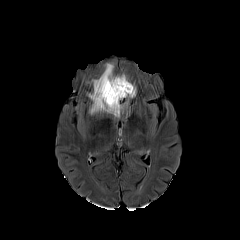
FLAIR magnetic resonance.
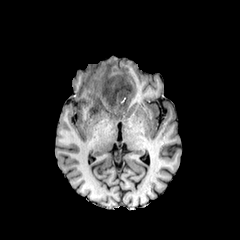
T1-weighted MR image.
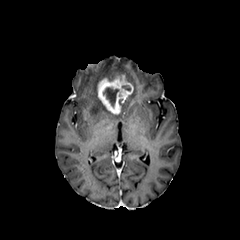
Same slice, post-contrast T1-weighted MRI.
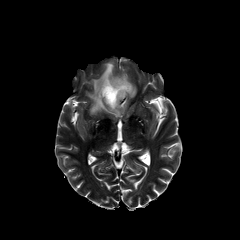
Same slice, T2-weighted MRI.
240x240 | Axial view
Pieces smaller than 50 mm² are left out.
necrotic_tumor_core:
  - <box>104,88,118,105</box>
peritumoral_edema:
  - <box>127,85,136,98</box>
  - <box>88,63,114,113</box>
enhancing_tumor:
  - <box>97,75,133,114</box>